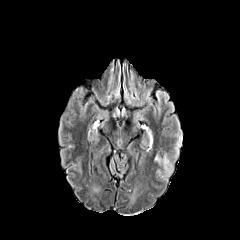
FLAIR MRI.
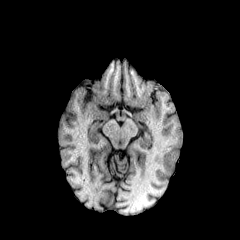
T1-weighted MRI.
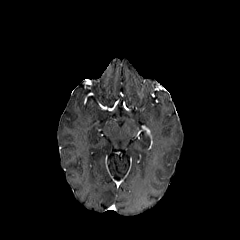
Post-contrast T1-weighted MR image of the same slice.
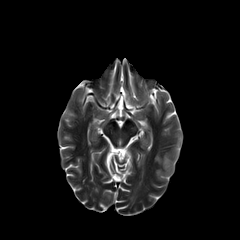
T2-weighted MR image.
Brain, Image size 240x240
peritumoral edema = left=155, top=156, right=172, bottom=173